Axial slice, Head, Image size 240x240, Image width 240 mm, Slice 94/155
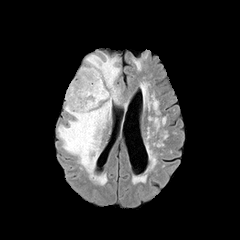
FLAIR MRI.
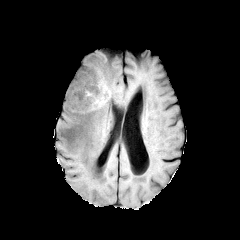
T1-weighted MRI of the same slice.
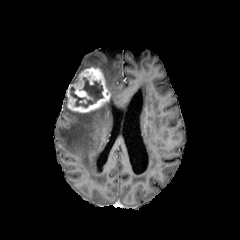
Post-contrast T1-weighted MR.
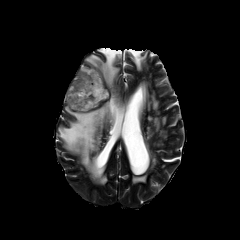
T2-weighted MR image of the same slice.
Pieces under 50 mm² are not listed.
{"enhancing_tumor": [{"x1": 66, "y1": 67, "x2": 110, "y2": 112}], "necrotic_tumor_core": [{"x1": 70, "y1": 77, "x2": 103, "y2": 107}], "peritumoral_edema": [{"x1": 58, "y1": 54, "x2": 119, "y2": 176}]}